Head; Image size 240x240
FLAIR MR image.
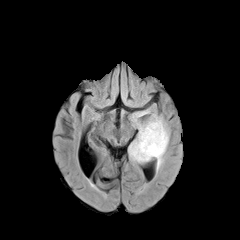
T1-weighted magnetic resonance.
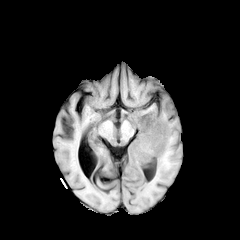
Post-contrast T1-weighted MR image.
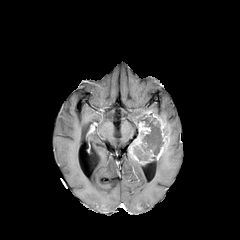
T2-weighted magnetic resonance.
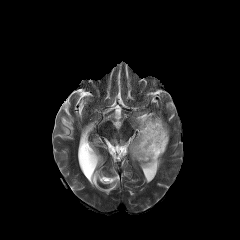
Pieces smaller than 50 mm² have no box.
* necrotic tumor core: bbox(134, 113, 163, 161)
* peritumoral edema: bbox(130, 109, 156, 138)
* enhancing tumor: bbox(129, 122, 150, 161); bbox(149, 113, 169, 160)